Axial slice. Head.
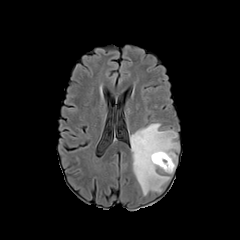
FLAIR MR image.
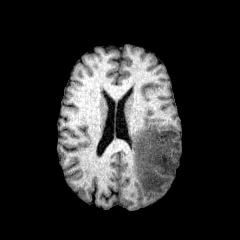
T1-weighted MR.
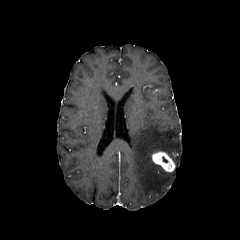
Post-contrast T1-weighted MRI.
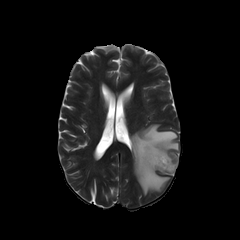
T2-weighted MR of the same slice.
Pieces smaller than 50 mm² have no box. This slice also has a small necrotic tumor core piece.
peritumoral edema = 130, 123, 179, 195
enhancing tumor = 152, 151, 175, 172